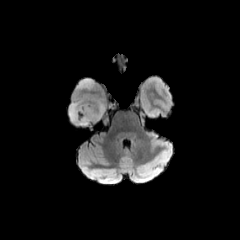
FLAIR magnetic resonance.
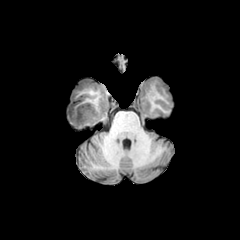
T1-weighted MR.
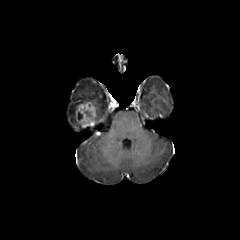
Post-contrast T1-weighted MR image.
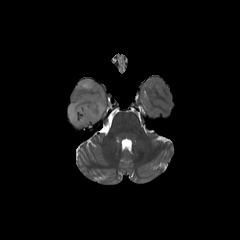
T2-weighted MR image.
Head
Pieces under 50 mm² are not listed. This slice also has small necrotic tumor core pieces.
{"enhancing_tumor": ["bbox(75, 102, 97, 127)"], "peritumoral_edema": ["bbox(69, 97, 104, 125)", "bbox(77, 79, 93, 89)"]}